Slice 126 of 155; Brain
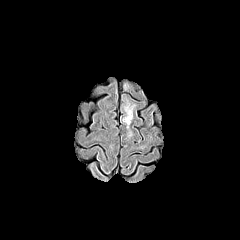
FLAIR magnetic resonance.
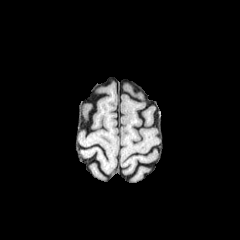
Same slice, T1-weighted magnetic resonance.
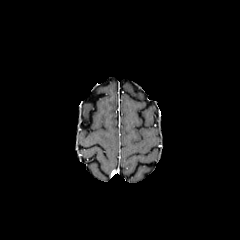
Post-contrast T1-weighted MR of the same slice.
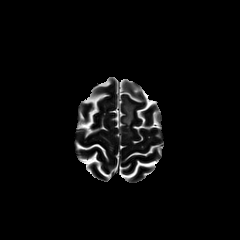
Same slice, T2-weighted MR.
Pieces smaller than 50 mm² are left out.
peritumoral edema at left=124, top=82, right=131, bottom=90; left=123, top=98, right=134, bottom=127